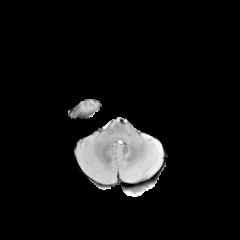
FLAIR magnetic resonance.
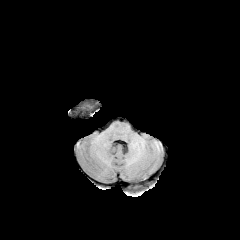
T1-weighted magnetic resonance.
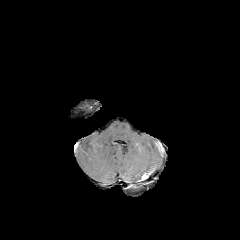
Post-contrast T1-weighted MR.
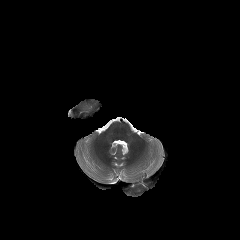
Same slice, T2-weighted MR image.
240x240 px
peritumoral_edema:
  - x1=78, y1=100, x2=95, y2=112